FLAIR MR.
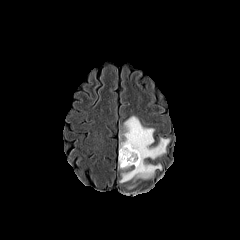
T1-weighted MR.
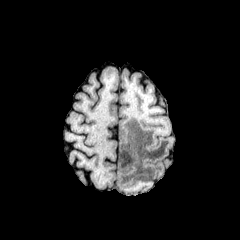
Post-contrast T1-weighted MR image.
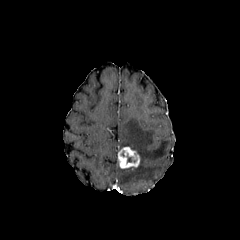
T2-weighted magnetic resonance.
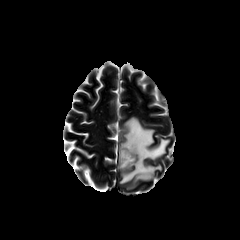
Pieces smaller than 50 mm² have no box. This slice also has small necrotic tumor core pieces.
peritumoral edema = (118, 116, 169, 183)
enhancing tumor = (118, 146, 140, 168)